Image width 240 mm, Slice index 53
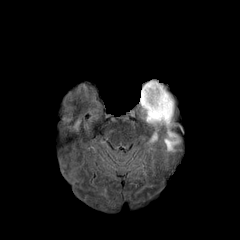
FLAIR MR.
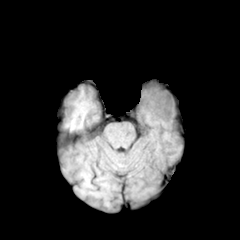
T1-weighted MRI.
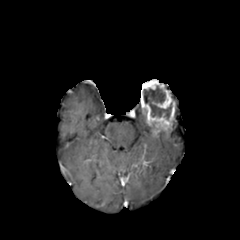
Post-contrast T1-weighted MR image of the same slice.
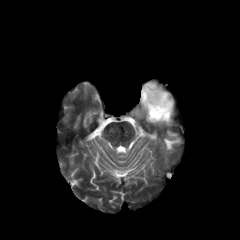
Same slice, T2-weighted magnetic resonance.
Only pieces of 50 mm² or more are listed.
The 2 largest peritumoral edema regions appear at <bbox>149, 134, 157, 143</bbox>, <bbox>164, 130, 180, 151</bbox>. The necrotic tumor core appears at <bbox>143, 86, 171, 119</bbox>. The enhancing tumor is at <bbox>140, 79, 174, 135</bbox>.